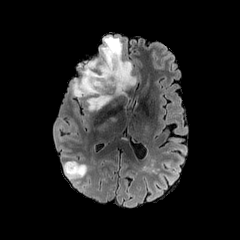
FLAIR MR.
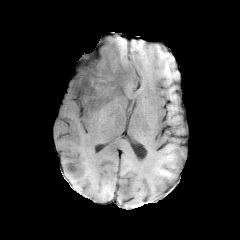
T1-weighted magnetic resonance.
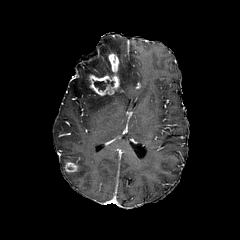
Post-contrast T1-weighted magnetic resonance.
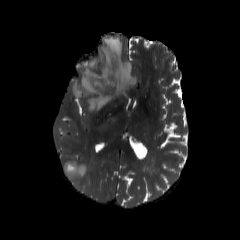
T2-weighted MR of the same slice.
Brain; Axial plane
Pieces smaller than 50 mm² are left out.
necrotic tumor core at rect(94, 80, 113, 90)
enhancing tumor at rect(65, 163, 77, 173); rect(85, 52, 119, 95)
peritumoral edema at rect(71, 36, 136, 111); rect(63, 159, 85, 178)